Head.
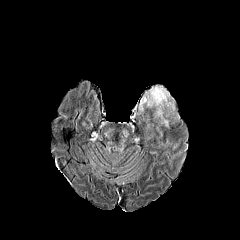
FLAIR MR.
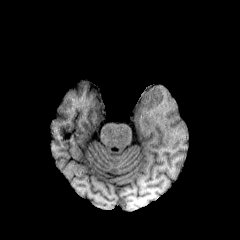
T1-weighted magnetic resonance.
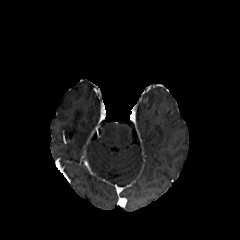
Post-contrast T1-weighted MR image of the same slice.
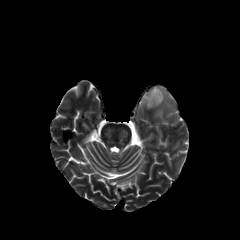
Same slice, T2-weighted MR.
peritumoral edema: rect(140, 87, 173, 126)